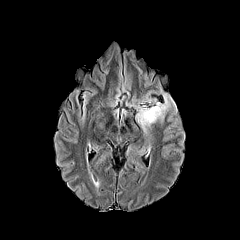
FLAIR MRI.
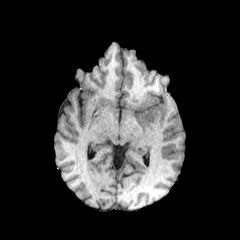
T1-weighted MR.
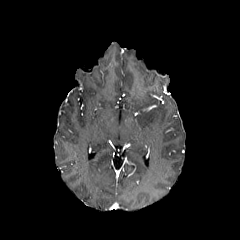
Post-contrast T1-weighted magnetic resonance.
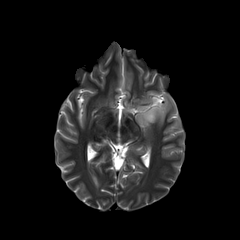
T2-weighted MR of the same slice.
Brain
• peritumoral edema: 136,95,170,133